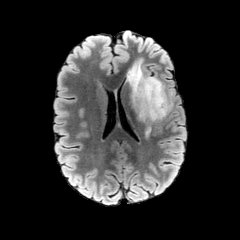
FLAIR magnetic resonance.
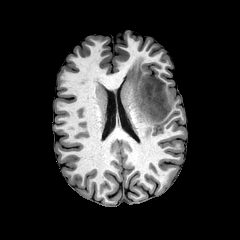
T1-weighted magnetic resonance of the same slice.
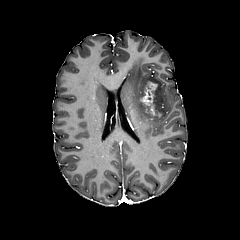
Post-contrast T1-weighted magnetic resonance.
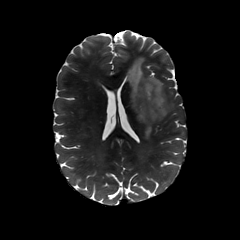
T2-weighted MR.
Image size 240x240.
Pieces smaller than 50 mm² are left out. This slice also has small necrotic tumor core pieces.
enhancing tumor: region(141, 82, 161, 116) | peritumoral edema: region(127, 59, 171, 137)